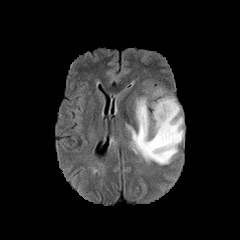
FLAIR MR.
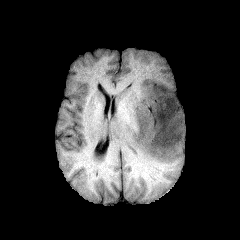
Same slice, T1-weighted MR image.
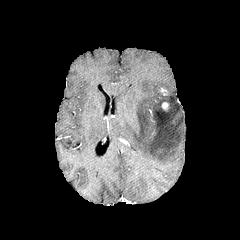
Same slice, post-contrast T1-weighted MR image.
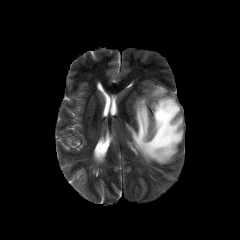
T2-weighted MR image.
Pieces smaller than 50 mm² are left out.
peritumoral_edema:
  - (126, 87, 183, 164)
enhancing_tumor:
  - (161, 102, 169, 110)